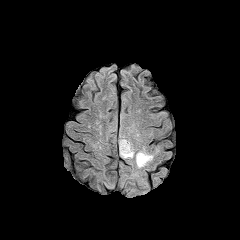
FLAIR magnetic resonance.
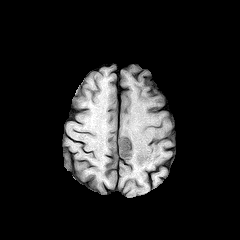
T1-weighted MRI of the same slice.
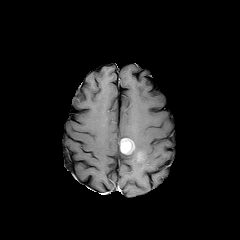
Post-contrast T1-weighted MR.
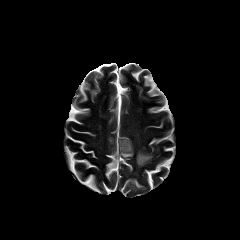
Same slice, T2-weighted MR image.
Axial view.
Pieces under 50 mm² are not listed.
peritumoral edema: bounding box x1=120 y1=149 x2=134 y2=158, x1=136 y1=147 x2=153 y2=168
enhancing tumor: bounding box x1=120 y1=138 x2=134 y2=154